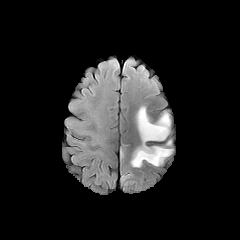
FLAIR MR image.
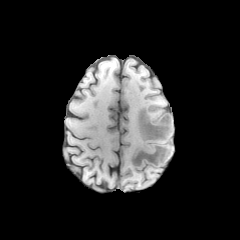
Same slice, T1-weighted MR.
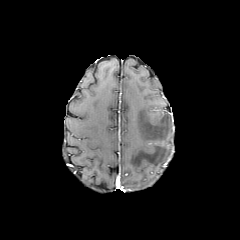
Post-contrast T1-weighted MR.
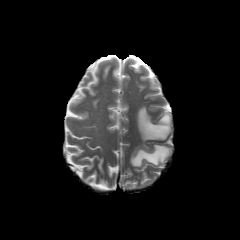
T2-weighted MRI.
Axial plane. Image size 240x240.
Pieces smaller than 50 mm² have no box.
The largest peritumoral edema region appears at 131:106:171:167.